Slice index 115. Head.
FLAIR MRI.
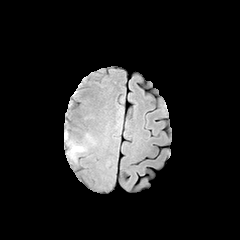
T1-weighted magnetic resonance.
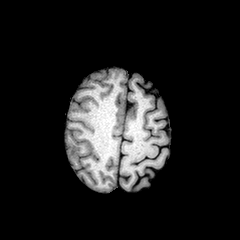
Post-contrast T1-weighted MR image.
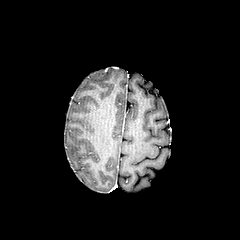
T2-weighted MR.
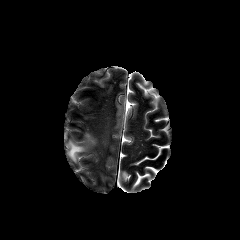
The peritumoral edema appears at left=68, top=142, right=83, bottom=159.